Slice 101/155, Image width 240 mm, 1.00 mm slice spacing, 240x240 px, Axial plane
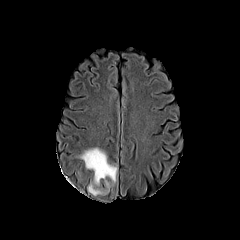
FLAIR MR.
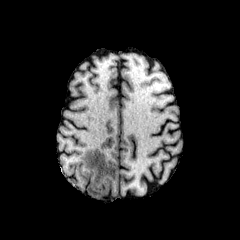
T1-weighted magnetic resonance of the same slice.
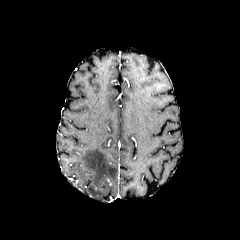
Post-contrast T1-weighted magnetic resonance.
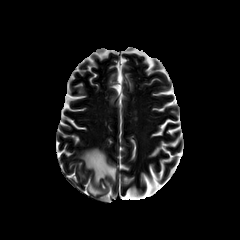
T2-weighted magnetic resonance.
The peritumoral edema lies within {"x1": 76, "y1": 147, "x2": 118, "y2": 196}.